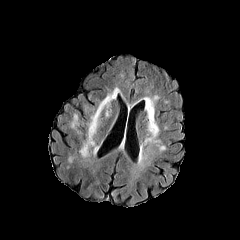
FLAIR MR image.
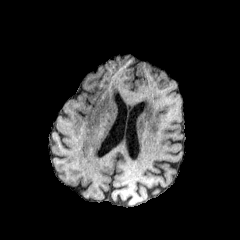
T1-weighted magnetic resonance.
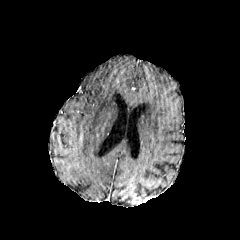
Post-contrast T1-weighted MR image.
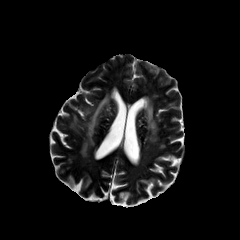
T2-weighted MR of the same slice.
Head
Segmented structures:
* peritumoral edema: l=82, t=93, r=111, b=155; l=71, t=114, r=78, b=128